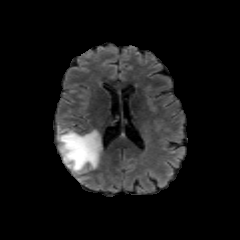
FLAIR MR image.
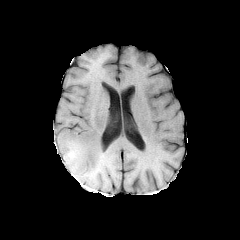
T1-weighted magnetic resonance of the same slice.
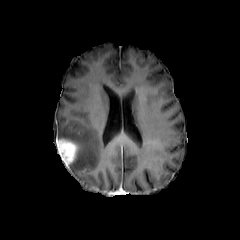
Same slice, post-contrast T1-weighted MR image.
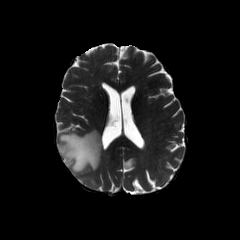
T2-weighted MR image.
240x240 px.
Segmented structures:
* peritumoral edema: region(57, 126, 101, 181)
* enhancing tumor: region(57, 138, 78, 167)